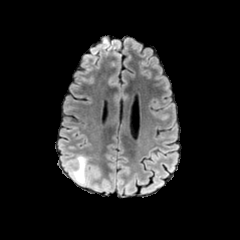
FLAIR magnetic resonance.
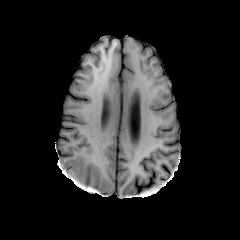
Same slice, T1-weighted MRI.
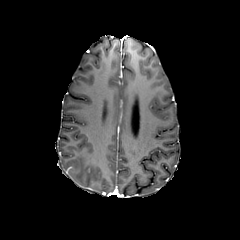
Post-contrast T1-weighted MR.
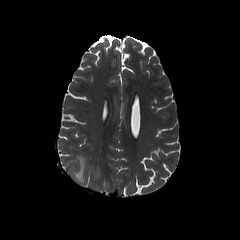
T2-weighted MR image of the same slice.
The peritumoral edema lies within box=[69, 155, 96, 186].